FLAIR MR.
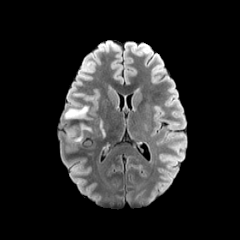
T1-weighted MR.
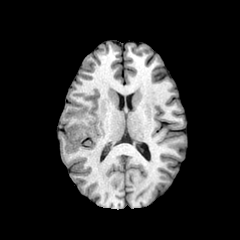
Post-contrast T1-weighted MR image.
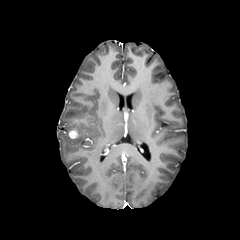
T2-weighted magnetic resonance.
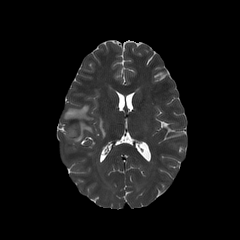
Axial view, Brain, Image size 240x240
<segmentation>
  <peritumoral_edema><box>65,122,91,142</box>, <box>65,105,90,120</box>, <box>100,117,107,138</box></peritumoral_edema>
  <enhancing_tumor><box>68,129,78,139</box></enhancing_tumor>
</segmentation>